Axial view | Image covers 240 mm x 240 mm | Slice 121 of 155
FLAIR MRI.
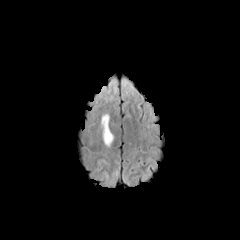
T1-weighted MR image.
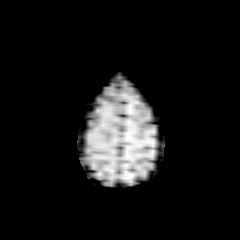
Post-contrast T1-weighted MR image.
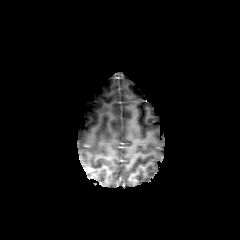
T2-weighted MR image.
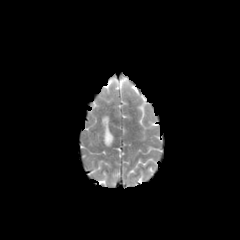
• peritumoral edema: <bbox>101, 114, 113, 146</bbox>